Slice 42/155. Image width 240 mm, 1.00 mm slice spacing. Axial slice.
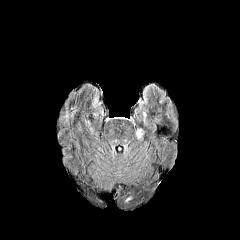
FLAIR MR image.
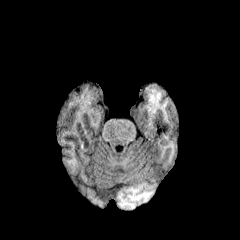
Same slice, T1-weighted MR.
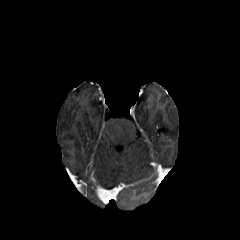
Same slice, post-contrast T1-weighted magnetic resonance.
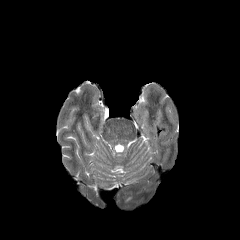
T2-weighted MR image of the same slice.
The peritumoral edema is at <box>123,194,133,203</box>.